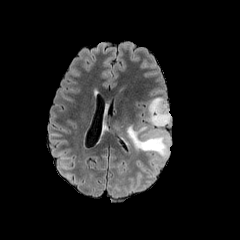
FLAIR MRI.
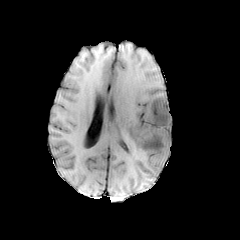
T1-weighted MR.
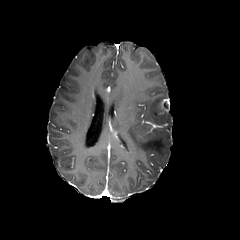
Post-contrast T1-weighted MR image.
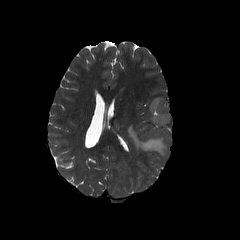
T2-weighted magnetic resonance.
Axial plane, Head
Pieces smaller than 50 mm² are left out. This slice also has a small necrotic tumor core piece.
- peritumoral edema: bbox=[126, 125, 170, 172]; bbox=[147, 97, 170, 125]
- enhancing tumor: bbox=[158, 99, 169, 114]